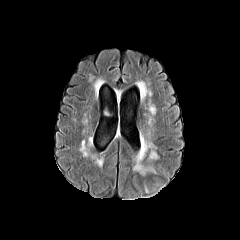
FLAIR MR.
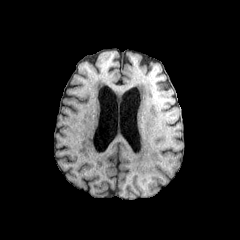
T1-weighted MR of the same slice.
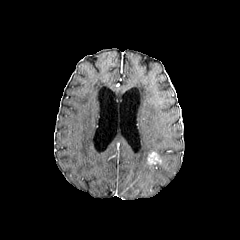
Same slice, post-contrast T1-weighted MRI.
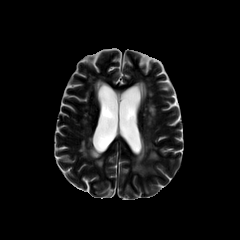
Same slice, T2-weighted magnetic resonance.
Head. Axial view.
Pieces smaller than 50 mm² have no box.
Annotated regions:
• peritumoral edema: 133 161 153 174
• enhancing tumor: 148 152 158 163